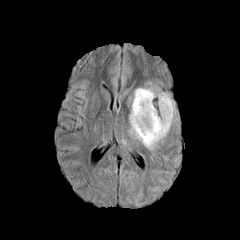
FLAIR magnetic resonance.
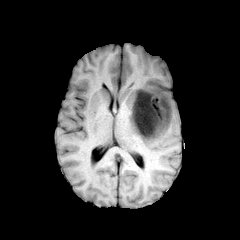
T1-weighted MR of the same slice.
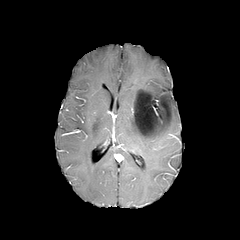
Post-contrast T1-weighted MRI.
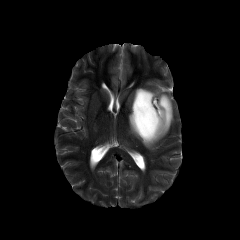
T2-weighted magnetic resonance of the same slice.
Axial view
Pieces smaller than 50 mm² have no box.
enhancing tumor = (153, 97, 167, 112), (134, 103, 170, 136)
necrotic tumor core = (135, 92, 169, 135)
peritumoral edema = (129, 88, 174, 149)